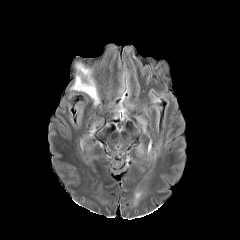
FLAIR magnetic resonance.
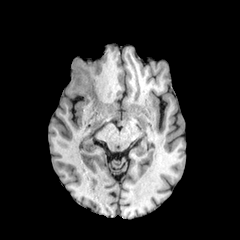
T1-weighted MR image.
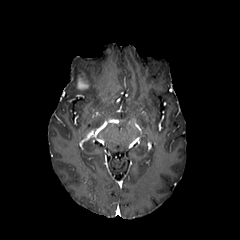
Post-contrast T1-weighted MR image.
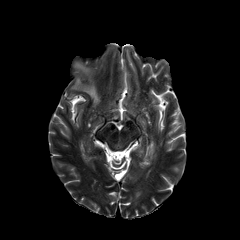
T2-weighted MRI.
Axial plane
The enhancing tumor is located at x1=77, y1=76, x2=88, y2=89. The peritumoral edema is bounded by x1=71, y1=63, x2=99, y2=104.